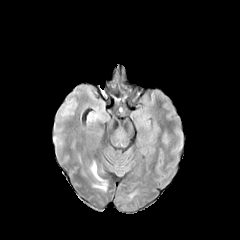
FLAIR MR.
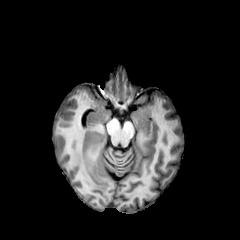
Same slice, T1-weighted magnetic resonance.
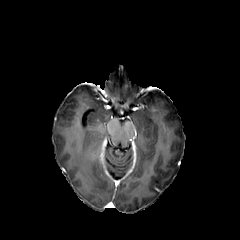
Post-contrast T1-weighted MRI.
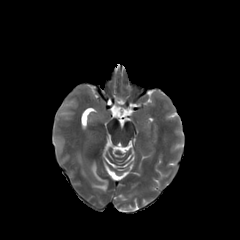
T2-weighted magnetic resonance.
Image size 240x240 | Axial view
The peritumoral edema appears at l=91, t=162, r=106, b=191.